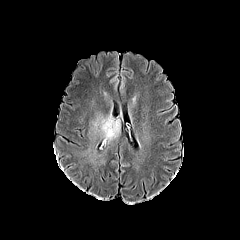
FLAIR MR.
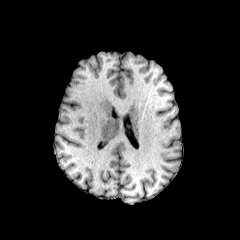
T1-weighted MRI.
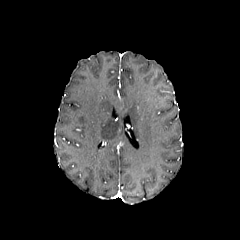
Post-contrast T1-weighted MR.
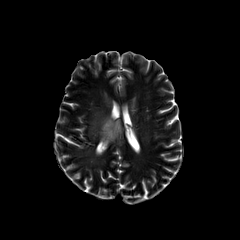
T2-weighted MRI.
The peritumoral edema is bounded by box(93, 116, 120, 141).